Slice index 90, Brain, 240x240, Axial plane
FLAIR MRI.
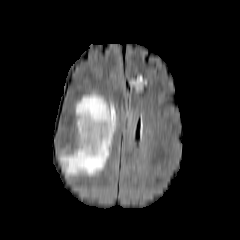
T1-weighted MR.
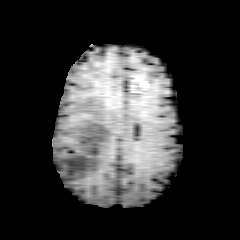
Post-contrast T1-weighted magnetic resonance.
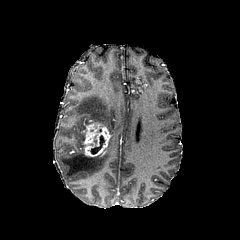
T2-weighted MR image.
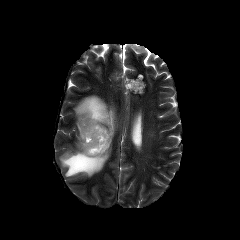
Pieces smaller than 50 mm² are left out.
The largest necrotic tumor core region appears at box=[90, 135, 104, 154]. The enhancing tumor appears at box=[81, 120, 110, 156]. The peritumoral edema lies within box=[60, 94, 116, 176].